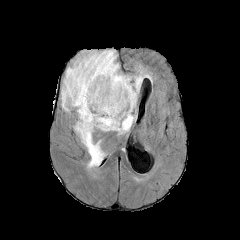
FLAIR MRI.
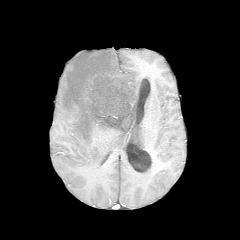
Same slice, T1-weighted magnetic resonance.
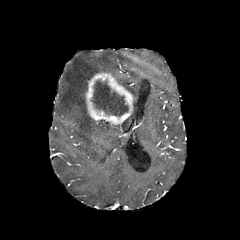
Post-contrast T1-weighted MRI.
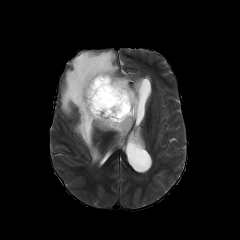
Same slice, T2-weighted MRI.
Head; 240x240 px; Axial slice
{"necrotic_tumor_core": ["<bbox>92, 80, 128, 116</bbox>"], "peritumoral_edema": ["<bbox>60, 50, 151, 167</bbox>"], "enhancing_tumor": ["<bbox>85, 72, 134, 129</bbox>"]}